FLAIR MRI.
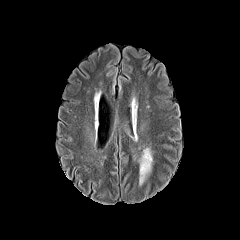
T1-weighted MRI.
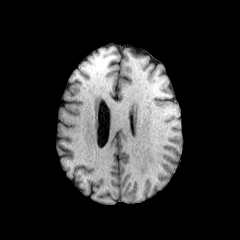
Post-contrast T1-weighted magnetic resonance.
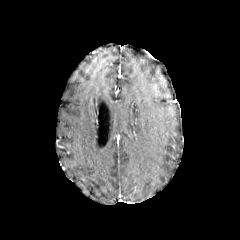
T2-weighted MRI.
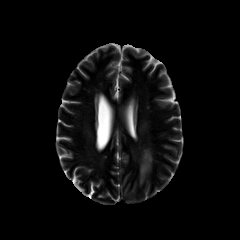
Axial slice. Head.
peritumoral_edema:
  - box=[139, 148, 152, 184]